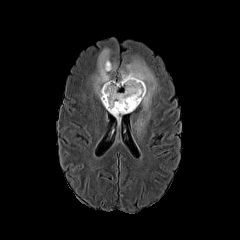
FLAIR MR.
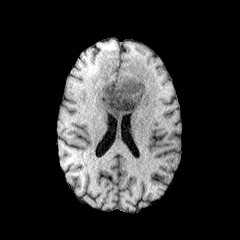
Same slice, T1-weighted MR image.
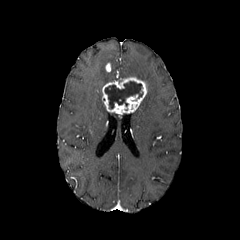
Post-contrast T1-weighted MR image of the same slice.
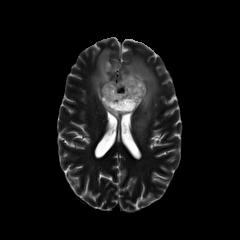
T2-weighted MRI of the same slice.
Brain; Axial view
enhancing tumor: (102,76,147,115), (105,63,111,72) | peritumoral edema: (120,58,157,135), (92,49,117,104), (111,113,121,125) | necrotic tumor core: (105,81,143,108)